Slice 85 of 155
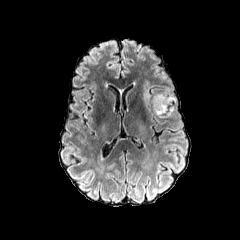
FLAIR MR image.
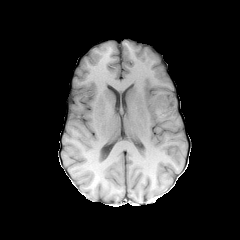
T1-weighted MR.
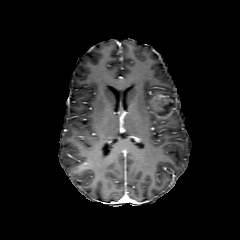
Post-contrast T1-weighted MR.
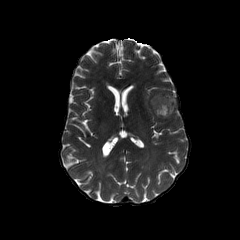
T2-weighted MR image.
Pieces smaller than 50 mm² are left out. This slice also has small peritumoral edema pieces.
{
  "necrotic_tumor_core": [
    "[158, 102, 171, 115]"
  ],
  "enhancing_tumor": [
    "[149, 94, 175, 118]"
  ]
}